Image width 240 mm, 1.00 mm slice spacing | Head
FLAIR MRI.
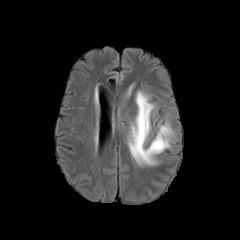
T1-weighted MR.
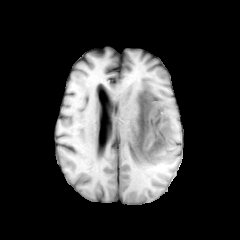
Post-contrast T1-weighted magnetic resonance.
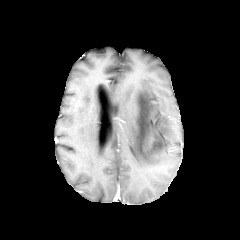
T2-weighted MR image.
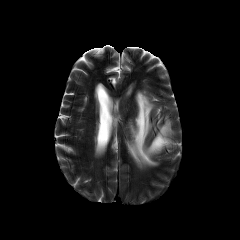
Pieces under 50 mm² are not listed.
peritumoral edema — 127 91 173 166